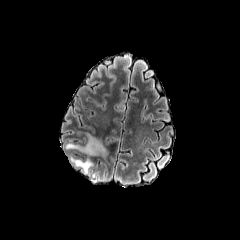
FLAIR MR image.
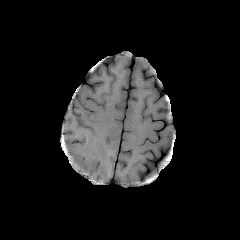
Same slice, T1-weighted MR.
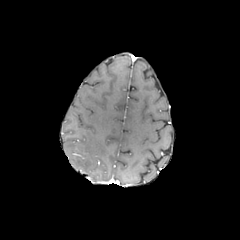
Post-contrast T1-weighted MRI of the same slice.
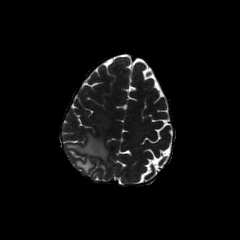
T2-weighted MR image of the same slice.
Head.
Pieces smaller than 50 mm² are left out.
peritumoral edema: [x1=66, y1=134, x2=108, y2=158], [x1=70, y1=156, x2=92, y2=173]